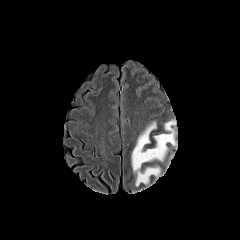
FLAIR MRI.
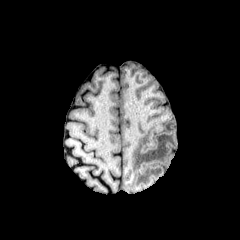
T1-weighted MR.
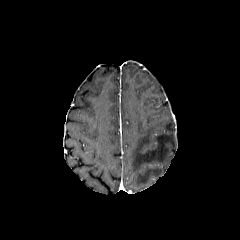
Post-contrast T1-weighted MR.
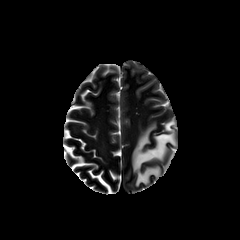
T2-weighted MR image.
Axial view | Brain
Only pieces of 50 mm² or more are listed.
Segmented structures:
• peritumoral edema: region(131, 120, 176, 186)